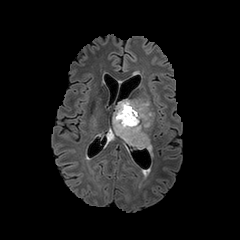
FLAIR MR.
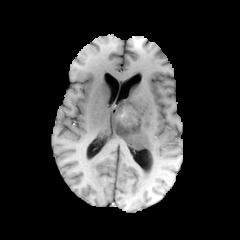
T1-weighted MR image of the same slice.
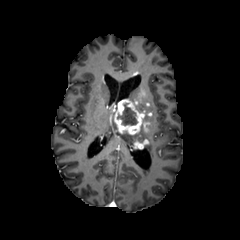
Post-contrast T1-weighted MRI.
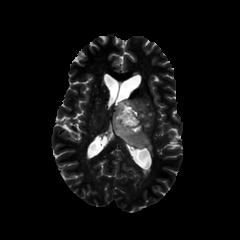
T2-weighted MR.
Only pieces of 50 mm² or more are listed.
The 2 largest enhancing tumor regions are bounded by <bbox>134, 140, 148, 148</bbox>, <bbox>114, 99, 144, 134</bbox>. The necrotic tumor core lies within <bbox>116, 103, 137, 125</bbox>. The largest peritumoral edema region lies within <bbox>112, 98, 152, 146</bbox>.